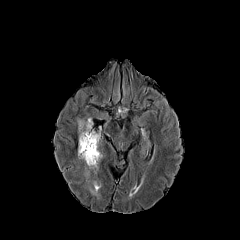
FLAIR MR.
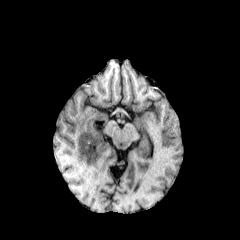
Same slice, T1-weighted MRI.
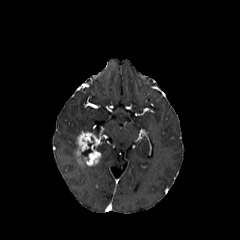
Post-contrast T1-weighted MRI.
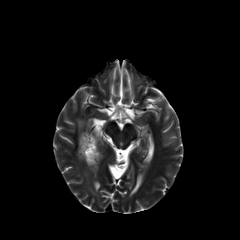
T2-weighted MR.
Brain
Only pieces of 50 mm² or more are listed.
The enhancing tumor is at l=76, t=131, r=101, b=166. The 3 largest peritumoral edema regions appear at l=79, t=162, r=99, b=169; l=90, t=181, r=100, b=193; l=77, t=118, r=100, b=133. The largest necrotic tumor core region is bounded by l=81, t=142, r=93, b=156.